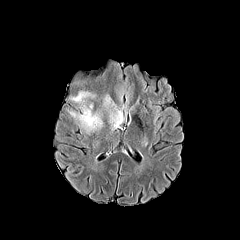
FLAIR magnetic resonance.
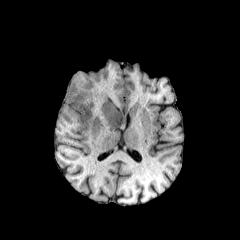
T1-weighted magnetic resonance.
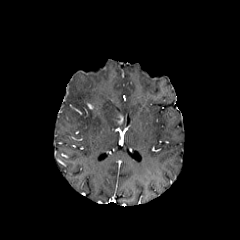
Same slice, post-contrast T1-weighted MRI.
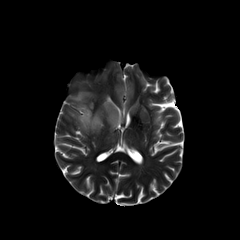
T2-weighted MR.
Axial view. 240x240 px. Brain.
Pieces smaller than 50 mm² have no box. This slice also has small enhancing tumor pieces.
peritumoral edema: left=109, top=110, right=122, bottom=127; left=71, top=91, right=91, bottom=101; left=69, top=108, right=102, bottom=131